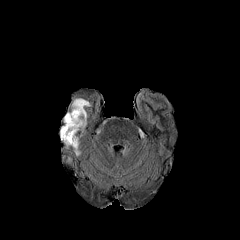
FLAIR MR image.
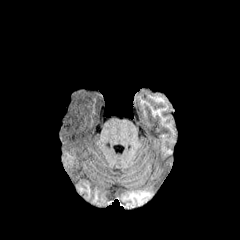
T1-weighted MR image.
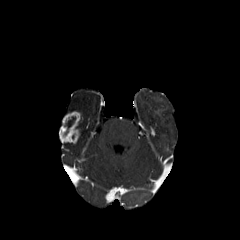
Same slice, post-contrast T1-weighted MR.
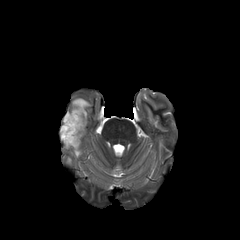
T2-weighted MR image of the same slice.
Brain. 240x240.
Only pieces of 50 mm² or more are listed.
peritumoral edema at 65,139,80,155; 71,98,90,132
enhancing tumor at 59,111,80,143
necrotic tumor core at 64,116,75,134